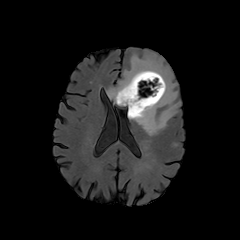
FLAIR magnetic resonance.
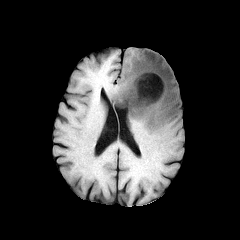
T1-weighted MRI.
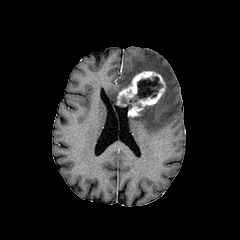
Post-contrast T1-weighted MR.
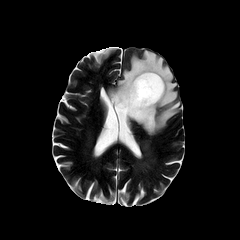
T2-weighted MR image.
Brain
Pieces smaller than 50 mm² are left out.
<segmentation>
  <peritumoral_edema>box=[107, 50, 180, 135]</peritumoral_edema>
  <enhancing_tumor>box=[117, 71, 165, 117]</enhancing_tumor>
  <necrotic_tumor_core>box=[127, 77, 162, 104]</necrotic_tumor_core>
</segmentation>